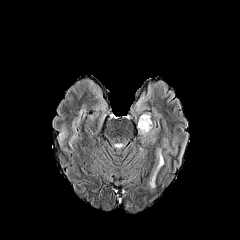
FLAIR MR image.
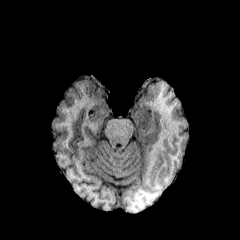
T1-weighted MR image of the same slice.
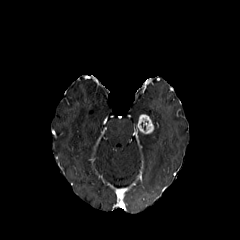
Post-contrast T1-weighted MRI of the same slice.
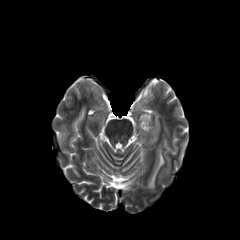
T2-weighted magnetic resonance of the same slice.
Image size 240x240. Brain.
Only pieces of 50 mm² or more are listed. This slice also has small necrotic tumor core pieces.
enhancing tumor = 137,114,154,134
peritumoral edema = 149,149,163,187